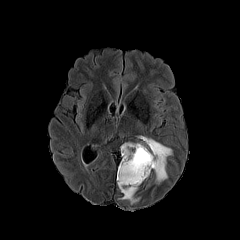
FLAIR MR.
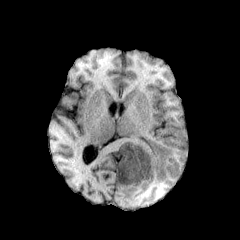
T1-weighted MR.
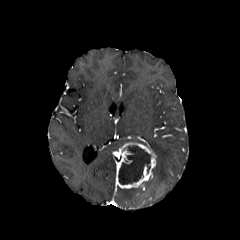
Post-contrast T1-weighted magnetic resonance.
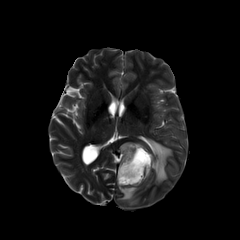
T2-weighted MRI.
• enhancing tumor: x1=116, y1=142, x2=156, y2=188
• necrotic tumor core: x1=118, y1=145, x2=150, y2=184
• peritumoral edema: x1=141, y1=136, x2=172, y2=183; x1=119, y1=187, x2=138, y2=203